FLAIR MRI.
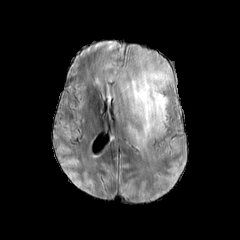
T1-weighted magnetic resonance.
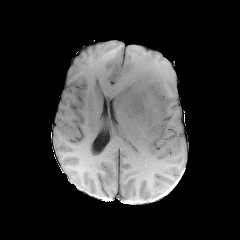
Post-contrast T1-weighted MR image.
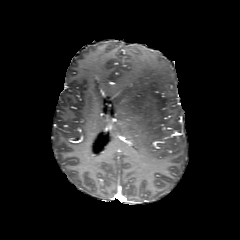
T2-weighted MR.
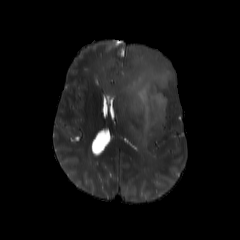
Image size 240x240.
The peritumoral edema lies within <bbox>115, 63, 172, 144</bbox>.